240x240 px, Slice index 54
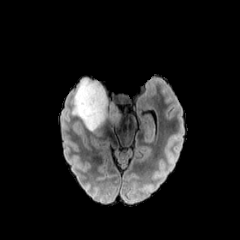
FLAIR MR image.
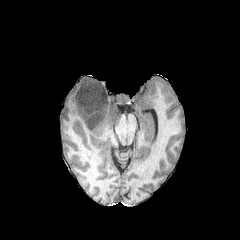
T1-weighted MR image of the same slice.
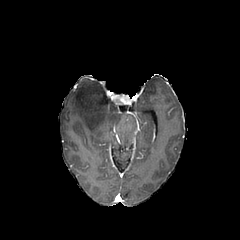
Post-contrast T1-weighted MR.
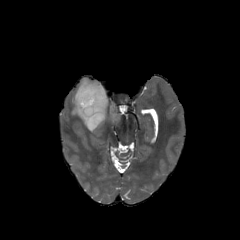
T2-weighted MR image.
The peritumoral edema lies within x1=72, y1=76, x2=124, y2=133.